240x240, Axial view, Slice 60/155, Brain
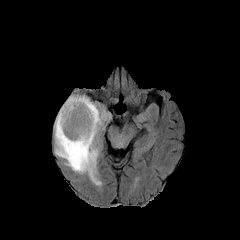
FLAIR MR image.
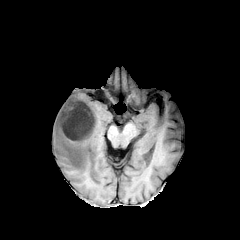
T1-weighted MRI.
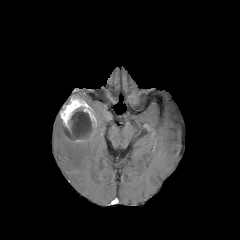
Post-contrast T1-weighted MR.
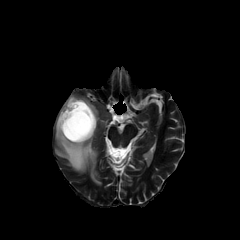
Same slice, T2-weighted MRI.
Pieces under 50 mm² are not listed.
peritumoral_edema:
  - l=54, t=95, r=105, b=184
necrotic_tumor_core:
  - l=70, t=100, r=92, b=139
enhancing_tumor:
  - l=60, t=96, r=96, b=142